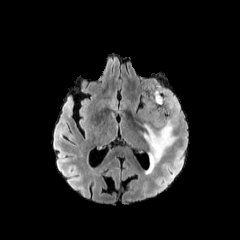
FLAIR magnetic resonance.
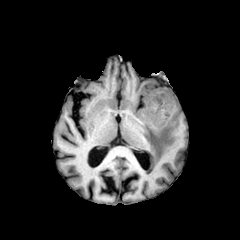
T1-weighted MRI of the same slice.
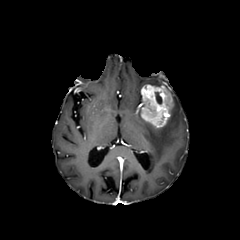
Post-contrast T1-weighted magnetic resonance of the same slice.
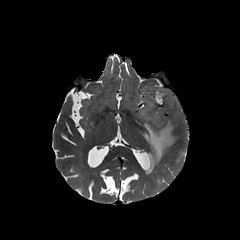
T2-weighted MRI.
Brain | Axial plane
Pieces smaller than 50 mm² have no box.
<segmentation>
  <peritumoral_edema>bbox=[143, 95, 179, 173]</peritumoral_edema>
  <necrotic_tumor_core>bbox=[155, 92, 162, 104]</necrotic_tumor_core>
  <enhancing_tumor>bbox=[141, 84, 173, 127]</enhancing_tumor>
</segmentation>